Head. Image covers 240 mm x 240 mm.
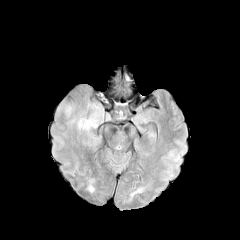
FLAIR MRI.
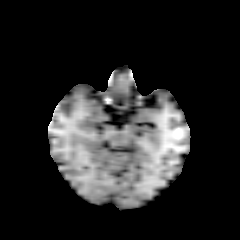
T1-weighted MRI.
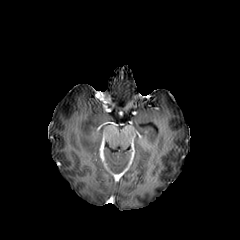
Post-contrast T1-weighted MR image of the same slice.
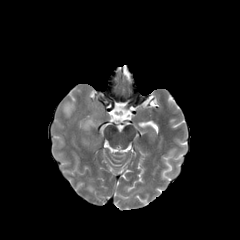
T2-weighted magnetic resonance.
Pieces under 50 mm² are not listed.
peritumoral edema: bounding box (x1=58, y1=104, x2=73, y2=117)